Axial plane | Head | Slice 106/155 | 240x240 px
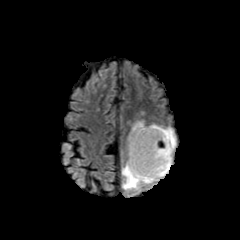
FLAIR MRI.
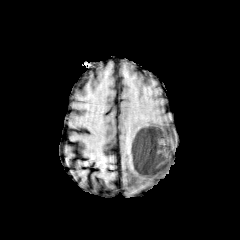
Same slice, T1-weighted magnetic resonance.
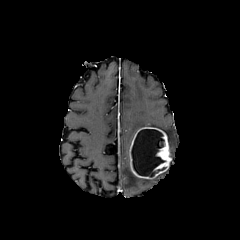
Same slice, post-contrast T1-weighted MR image.
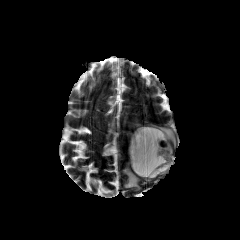
T2-weighted MRI.
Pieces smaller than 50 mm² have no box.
- peritumoral edema: 128,121,176,158; 122,160,169,190
- necrotic tumor core: 131,129,164,176
- enhancing tumor: 129,127,172,179